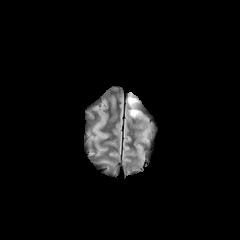
FLAIR MR image.
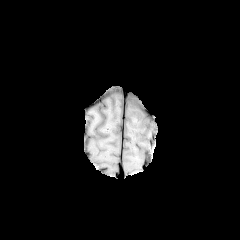
T1-weighted magnetic resonance.
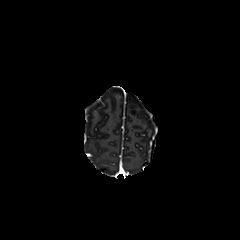
Post-contrast T1-weighted MRI.
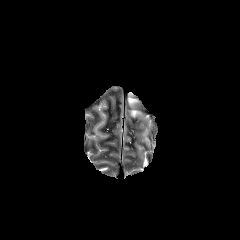
T2-weighted MR image.
Axial view | Head
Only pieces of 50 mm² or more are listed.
peritumoral edema — [130,109,139,116]